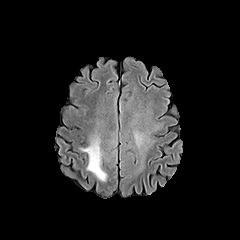
FLAIR magnetic resonance.
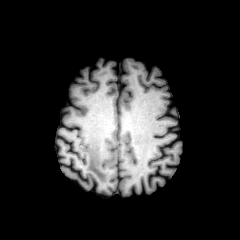
Same slice, T1-weighted MR.
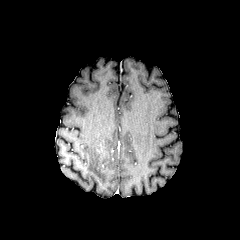
Post-contrast T1-weighted MR.
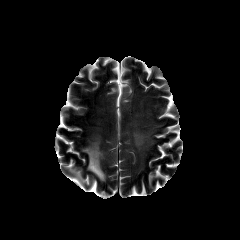
T2-weighted magnetic resonance.
Axial plane, 240x240
The peritumoral edema appears at bbox=[81, 136, 107, 181].